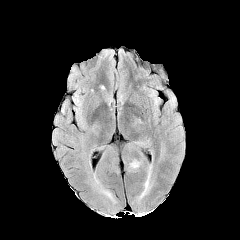
FLAIR MR image.
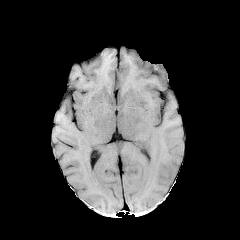
T1-weighted MRI.
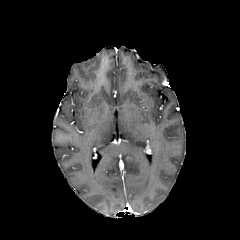
Same slice, post-contrast T1-weighted MR.
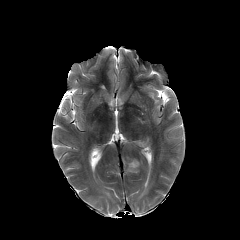
T2-weighted MR of the same slice.
Brain, Axial slice
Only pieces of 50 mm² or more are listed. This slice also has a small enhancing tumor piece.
* peritumoral edema: [129,160,140,168]